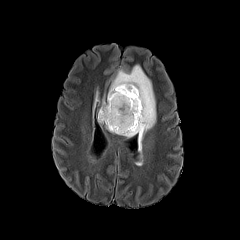
FLAIR MR image.
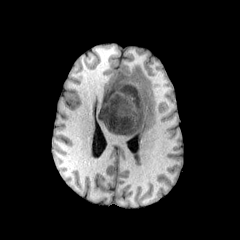
Same slice, T1-weighted MRI.
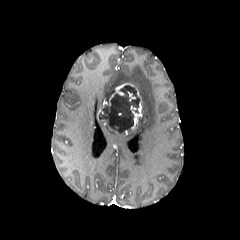
Post-contrast T1-weighted MRI of the same slice.
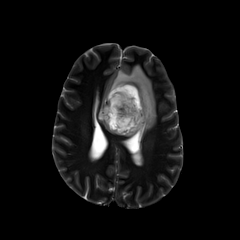
T2-weighted MR of the same slice.
Head. 240x240.
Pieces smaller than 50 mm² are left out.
The largest enhancing tumor region appears at bbox(109, 83, 141, 131). The largest peritumoral edema region is at bbox(107, 65, 155, 151). The necrotic tumor core lies within bbox(99, 85, 139, 133).